Axial slice. Slice 94 of 155. Image size 240x240.
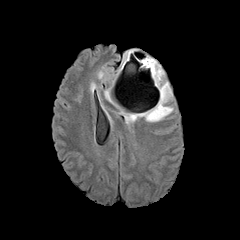
FLAIR MR image.
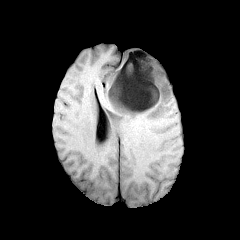
T1-weighted MR image of the same slice.
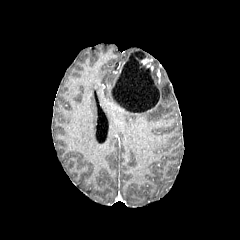
Post-contrast T1-weighted MR image.
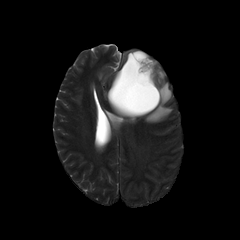
T2-weighted magnetic resonance.
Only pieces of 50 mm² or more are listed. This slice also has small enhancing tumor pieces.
The largest necrotic tumor core region is bounded by l=110, t=51, r=159, b=113. The largest peritumoral edema region lies within l=120, t=60, r=172, b=122.